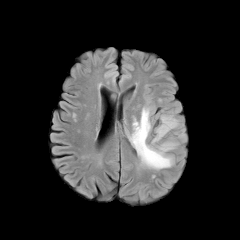
FLAIR magnetic resonance.
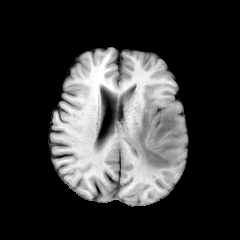
T1-weighted magnetic resonance of the same slice.
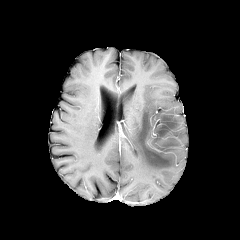
Post-contrast T1-weighted magnetic resonance.
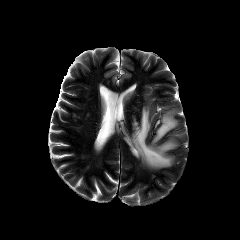
T2-weighted magnetic resonance of the same slice.
Image size 240x240
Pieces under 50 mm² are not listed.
peritumoral_edema:
  - box(128, 107, 178, 169)